Brain.
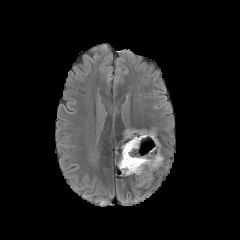
FLAIR MR.
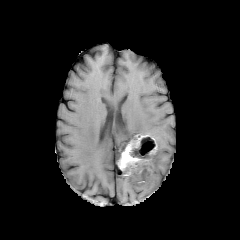
T1-weighted MR of the same slice.
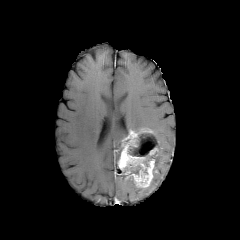
Post-contrast T1-weighted MR.
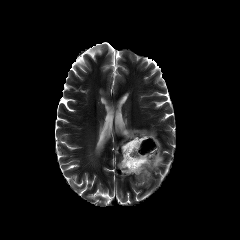
T2-weighted MR.
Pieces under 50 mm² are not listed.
The 2 largest necrotic tumor core regions are bounded by x1=128, y1=133, x2=157, y2=156; x1=130, y1=166, x2=140, y2=174. The enhancing tumor is bounded by x1=118, y1=129, x2=157, y2=187. The largest peritumoral edema region appears at x1=153, y1=148, x2=163, y2=172.